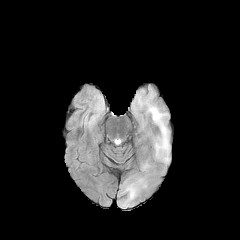
FLAIR MRI.
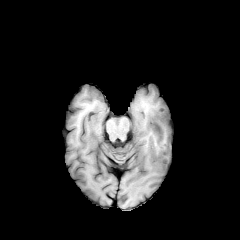
Same slice, T1-weighted MR.
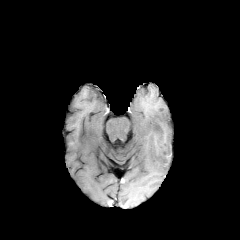
Post-contrast T1-weighted MR of the same slice.
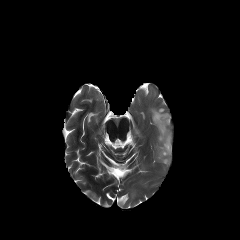
Same slice, T2-weighted MR.
Head
Findings:
• peritumoral edema: x1=152, y1=110, x2=168, y2=149